FLAIR magnetic resonance.
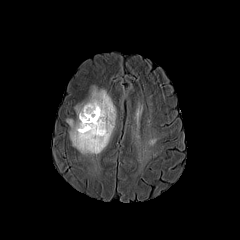
T1-weighted MR.
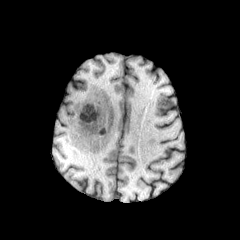
Post-contrast T1-weighted magnetic resonance.
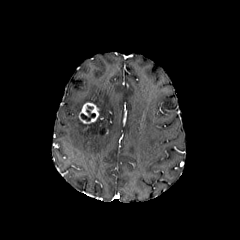
T2-weighted MRI.
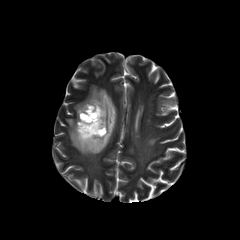
Axial plane
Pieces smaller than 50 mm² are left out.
peritumoral edema: 66, 86, 116, 154 | enhancing tumor: 79, 102, 99, 124 | necrotic tumor core: 81, 106, 95, 121